FLAIR MR.
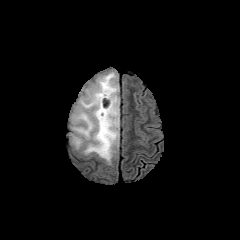
T1-weighted MR image.
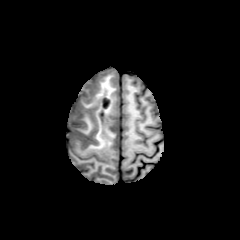
Post-contrast T1-weighted MR image.
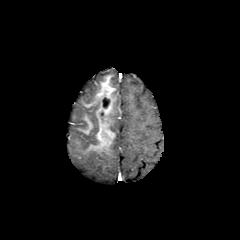
T2-weighted MR.
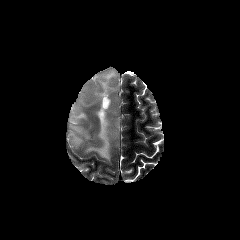
240x240, Axial slice
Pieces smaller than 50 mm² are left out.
necrotic_tumor_core:
  - 101,97,110,108
peritumoral_edema:
  - 69,70,119,164
enhancing_tumor:
  - 96,92,114,124